Slice 107/155 | Image width 240 mm, 1.00 mm slice spacing | Axial slice | Head
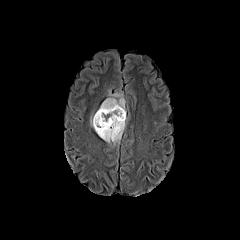
FLAIR MR image.
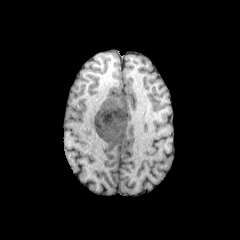
Same slice, T1-weighted MR image.
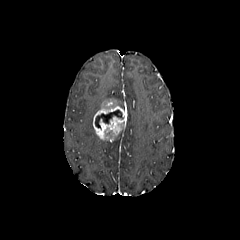
Post-contrast T1-weighted MRI.
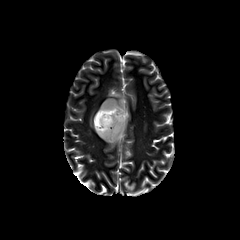
Same slice, T2-weighted MR image.
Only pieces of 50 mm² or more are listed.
<segmentation>
  <enhancing_tumor>[93, 98, 127, 141]</enhancing_tumor>
  <necrotic_tumor_core>[95, 110, 123, 128]</necrotic_tumor_core>
  <peritumoral_edema>[107, 91, 124, 108], [113, 130, 123, 144]</peritumoral_edema>
</segmentation>